Axial slice, Slice 94/155, Brain
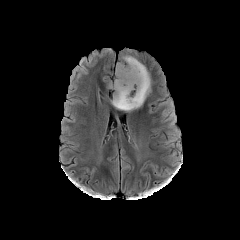
FLAIR magnetic resonance.
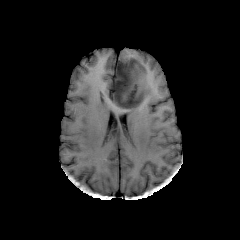
Same slice, T1-weighted MRI.
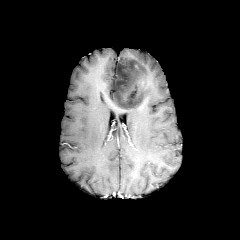
Post-contrast T1-weighted magnetic resonance.
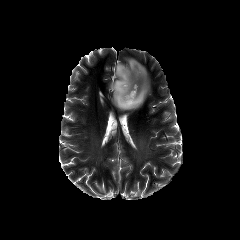
Same slice, T2-weighted MR image.
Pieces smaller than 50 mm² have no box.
peritumoral_edema:
  - region(111, 56, 150, 111)
necrotic_tumor_core:
  - region(112, 62, 144, 107)